Axial slice
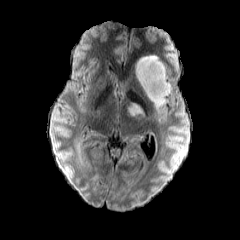
FLAIR MR image.
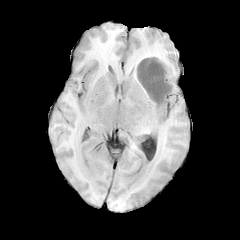
T1-weighted MR image of the same slice.
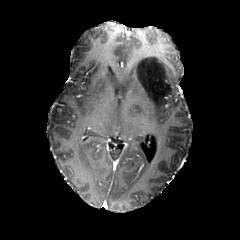
Post-contrast T1-weighted MR image.
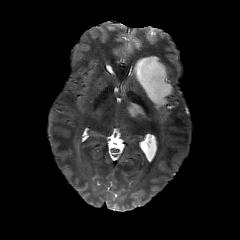
T2-weighted magnetic resonance.
peritumoral edema: region(135, 55, 172, 107); region(128, 101, 143, 115)